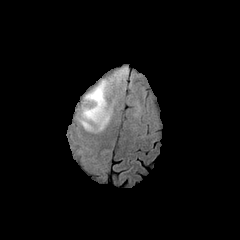
FLAIR MR image.
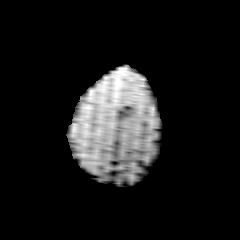
T1-weighted MR image.
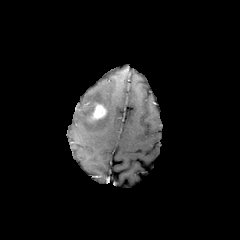
Post-contrast T1-weighted magnetic resonance of the same slice.
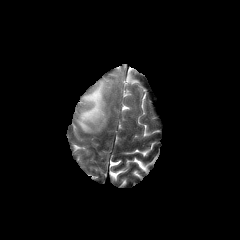
T2-weighted MR image.
Brain.
peritumoral edema: x1=78 y1=80 x2=112 y2=131
enhancing tumor: x1=92 y1=104 x2=106 y2=119